Axial slice. Head. Slice 96/155.
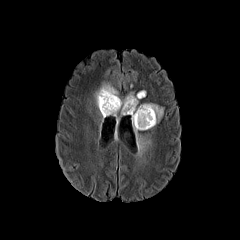
FLAIR magnetic resonance.
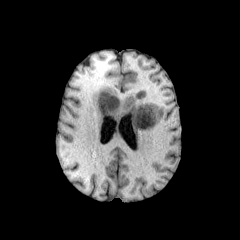
T1-weighted MR of the same slice.
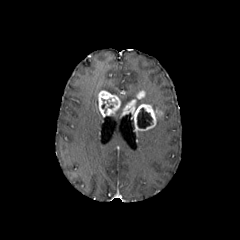
Same slice, post-contrast T1-weighted magnetic resonance.
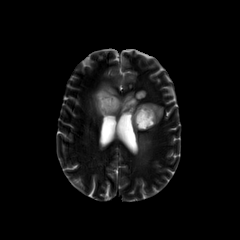
Same slice, T2-weighted MR.
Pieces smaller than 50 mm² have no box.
The largest necrotic tumor core region appears at [x1=137, y1=108, x2=152, y2=128]. The 3 largest peritumoral edema regions appear at [x1=142, y1=103, x2=163, y2=113], [x1=113, y1=92, x2=150, y2=153], [x1=94, y1=82, x2=118, y2=109]. 3 enhancing tumor regions appear at [x1=97, y1=90, x2=120, y2=116], [x1=136, y1=90, x2=145, y2=99], [x1=123, y1=99, x2=162, y2=131].